FLAIR MR.
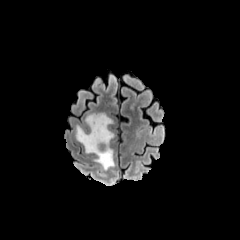
T1-weighted magnetic resonance.
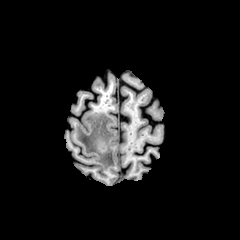
Post-contrast T1-weighted MRI.
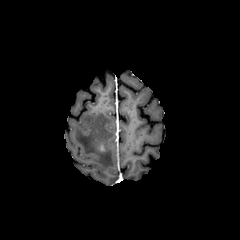
T2-weighted MRI.
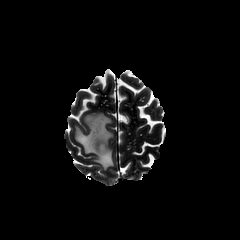
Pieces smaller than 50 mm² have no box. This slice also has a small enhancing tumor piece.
peritumoral edema: bbox(75, 113, 114, 170)